FLAIR magnetic resonance.
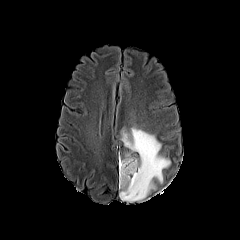
T1-weighted MRI.
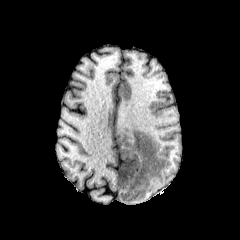
Post-contrast T1-weighted MR image.
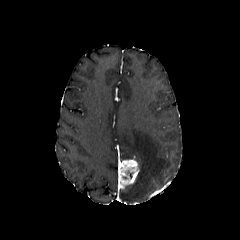
T2-weighted MR.
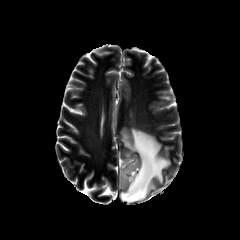
Image size 240x240.
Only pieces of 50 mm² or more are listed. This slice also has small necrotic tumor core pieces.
The largest peritumoral edema region is located at x1=120, y1=127, x2=170, y2=202. The enhancing tumor is at x1=118, y1=159, x2=139, y2=188.